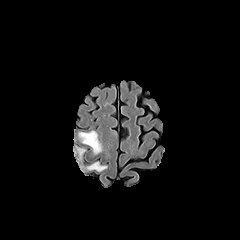
FLAIR MRI.
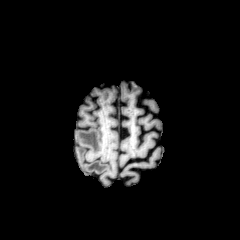
Same slice, T1-weighted MR.
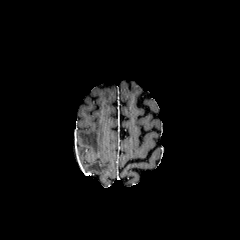
Post-contrast T1-weighted MR image.
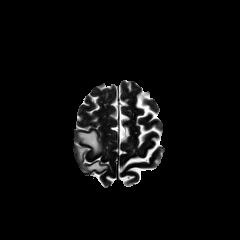
T2-weighted MRI of the same slice.
Brain
peritumoral edema: (left=78, top=148, right=85, bottom=159), (left=78, top=131, right=102, bottom=154), (left=86, top=162, right=106, bottom=171)